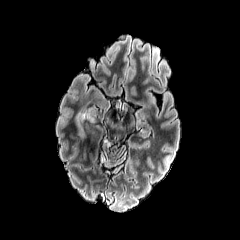
FLAIR MR.
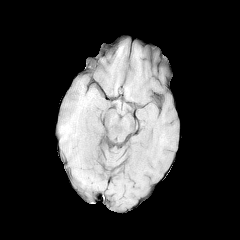
T1-weighted MR image of the same slice.
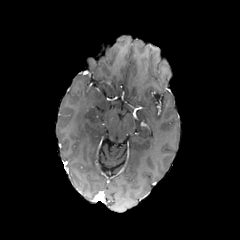
Post-contrast T1-weighted MR image of the same slice.
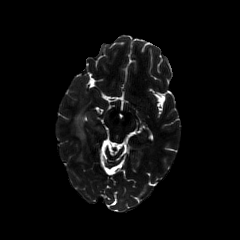
Same slice, T2-weighted MR.
240x240 px, Brain
<segmentation>
  <peritumoral_edema>[75, 113, 85, 138]</peritumoral_edema>
</segmentation>